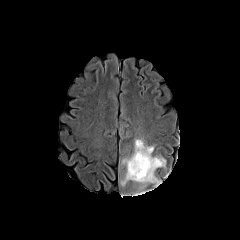
FLAIR magnetic resonance.
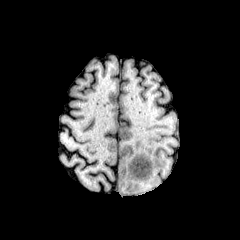
T1-weighted MR.
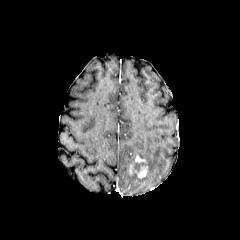
Post-contrast T1-weighted MR of the same slice.
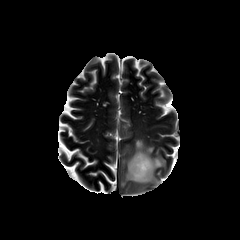
T2-weighted MRI.
Brain, 240x240
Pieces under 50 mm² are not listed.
The peritumoral edema is at (x1=121, y1=139, x2=165, y2=186). The enhancing tumor lies within (x1=129, y1=155, x2=148, y2=178). The largest necrotic tumor core region is at (x1=134, y1=162, x2=147, y2=171).